Slice 45 of 155 | 240x240
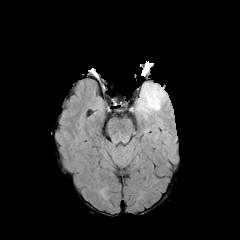
FLAIR MRI.
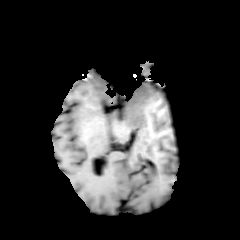
T1-weighted MR.
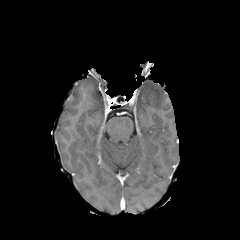
Post-contrast T1-weighted magnetic resonance.
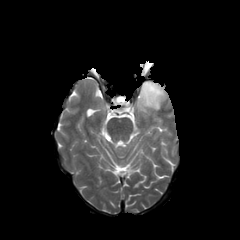
T2-weighted magnetic resonance.
peritumoral_edema:
  - 135 81 167 120